FLAIR MR image.
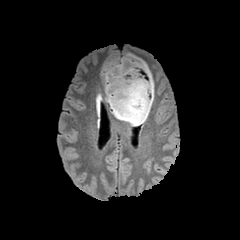
T1-weighted MRI.
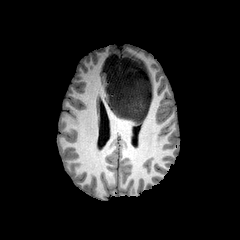
Post-contrast T1-weighted MR image.
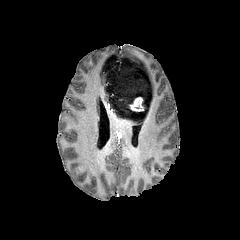
T2-weighted magnetic resonance.
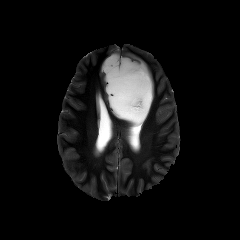
Head
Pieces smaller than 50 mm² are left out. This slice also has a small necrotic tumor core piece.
peritumoral edema: bounding box <box>101,54,154,126</box>
enhancing tumor: bounding box <box>129,97,144,111</box>